FLAIR MR.
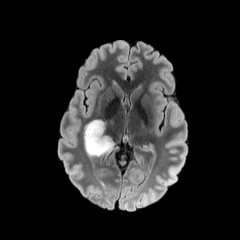
T1-weighted MR image.
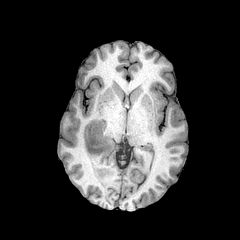
Post-contrast T1-weighted MR image.
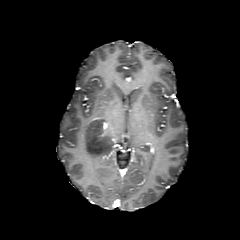
T2-weighted MRI.
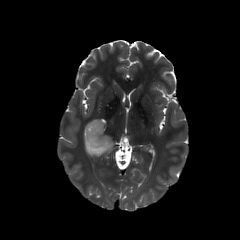
240x240. Axial slice.
peritumoral_edema:
  - rect(84, 119, 119, 156)